Image size 240x240 | Brain | Axial slice
FLAIR MR image.
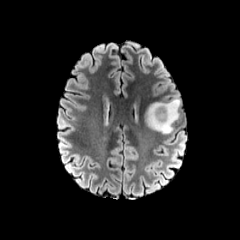
T1-weighted MRI.
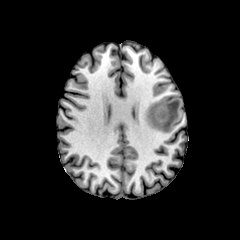
Post-contrast T1-weighted MRI.
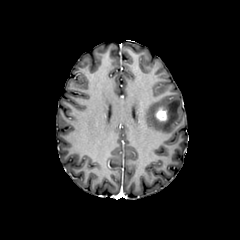
T2-weighted MR image.
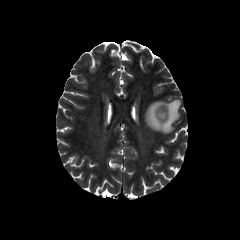
Annotated regions:
- peritumoral edema: x1=145, y1=98, x2=180, y2=133
- enhancing tumor: x1=155, y1=107, x2=168, y2=121